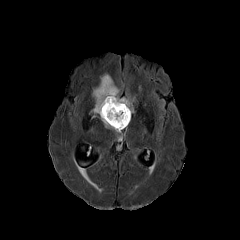
FLAIR MRI.
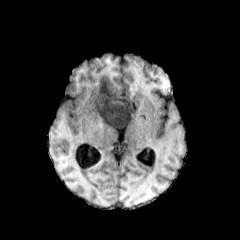
T1-weighted magnetic resonance.
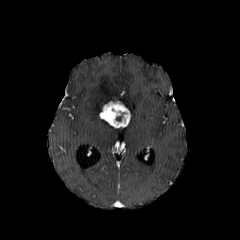
Post-contrast T1-weighted magnetic resonance.
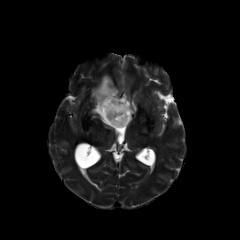
T2-weighted MR image.
Brain; Axial slice
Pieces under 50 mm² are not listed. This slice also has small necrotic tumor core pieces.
enhancing_tumor:
  - 99, 98, 130, 128
peritumoral_edema:
  - 91, 74, 133, 117
  - 102, 120, 123, 133